FLAIR MRI.
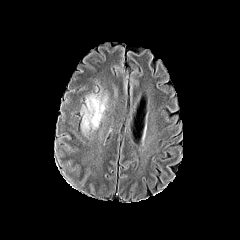
T1-weighted MRI.
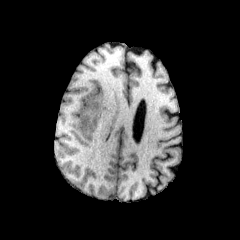
Post-contrast T1-weighted MRI.
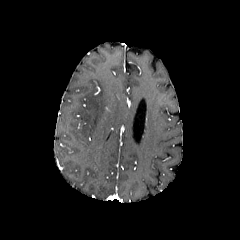
T2-weighted MR.
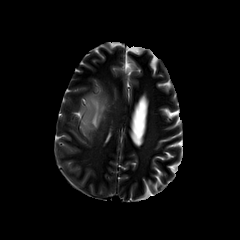
Brain. 240x240.
The peritumoral edema is at box(81, 94, 107, 132).